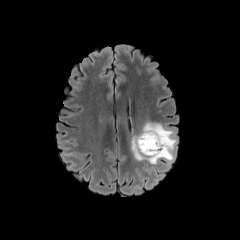
FLAIR MR image.
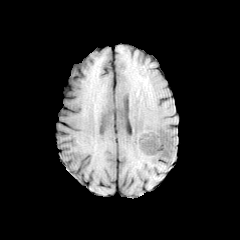
T1-weighted MRI.
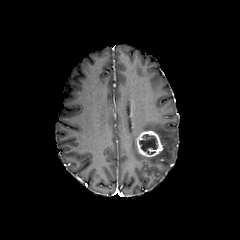
Post-contrast T1-weighted MRI.
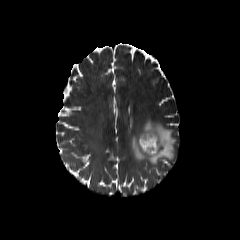
T2-weighted MR image.
Head
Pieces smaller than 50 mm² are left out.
{"necrotic_tumor_core": ["rect(139, 134, 157, 154)"], "peritumoral_edema": ["rect(130, 122, 176, 165)"], "enhancing_tumor": ["rect(136, 131, 163, 157)"]}